Image width 240 mm, 1.00 mm slice spacing.
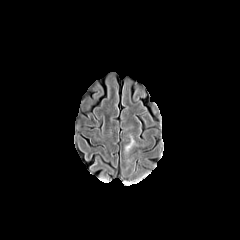
FLAIR magnetic resonance.
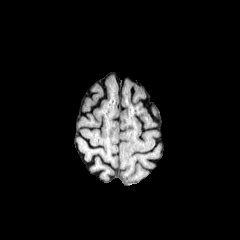
T1-weighted MR.
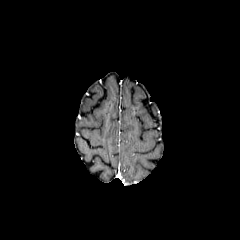
Post-contrast T1-weighted MR image.
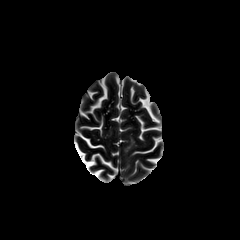
T2-weighted MRI.
peritumoral edema = region(126, 137, 134, 150)